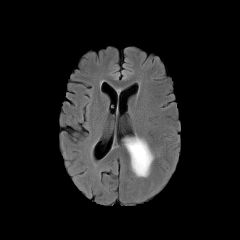
FLAIR MR.
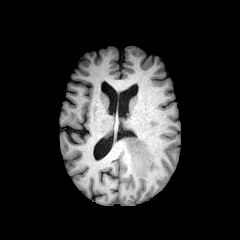
Same slice, T1-weighted MR image.
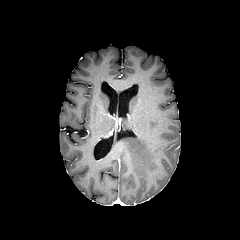
Same slice, post-contrast T1-weighted MRI.
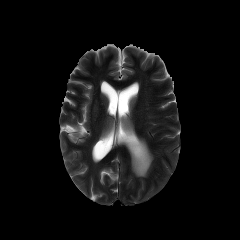
Same slice, T2-weighted magnetic resonance.
Brain
The peritumoral edema appears at box(125, 137, 153, 176).